Head; Axial view; Slice 93/155; Image size 240x240
FLAIR MR.
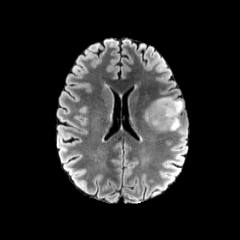
T1-weighted MRI.
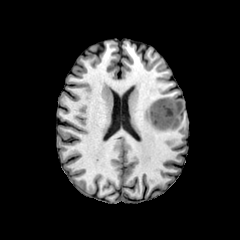
Post-contrast T1-weighted magnetic resonance.
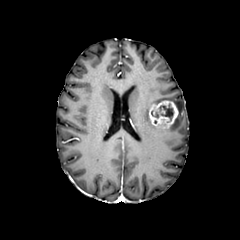
T2-weighted magnetic resonance.
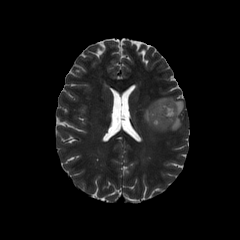
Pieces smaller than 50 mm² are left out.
<segmentation>
  <necrotic_tumor_core><box>159,104,173,120</box></necrotic_tumor_core>
  <enhancing_tumor><box>149,100,178,129</box></enhancing_tumor>
  <peritumoral_edema><box>144,109,152,125</box>, <box>153,97,183,114</box>, <box>168,115,181,130</box></peritumoral_edema>
</segmentation>